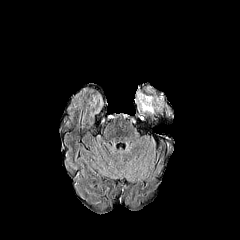
FLAIR MR image.
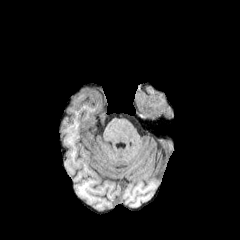
T1-weighted MRI of the same slice.
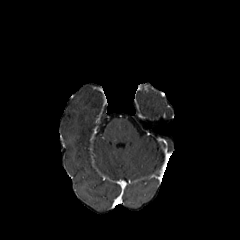
Post-contrast T1-weighted MRI.
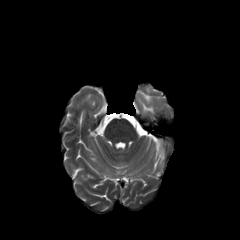
T2-weighted MRI of the same slice.
240x240
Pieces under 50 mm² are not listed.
peritumoral edema: [142,103,153,112]